Axial slice.
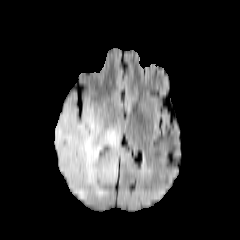
FLAIR MRI.
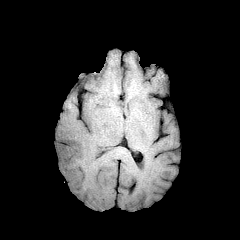
T1-weighted magnetic resonance.
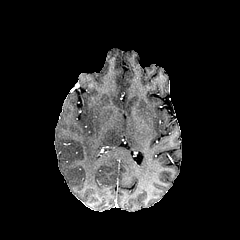
Post-contrast T1-weighted MRI.
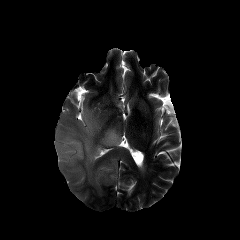
T2-weighted magnetic resonance.
peritumoral edema: bounding box box=[54, 103, 124, 199]